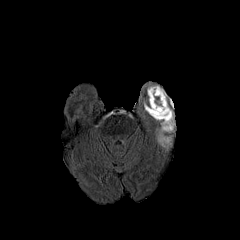
FLAIR magnetic resonance.
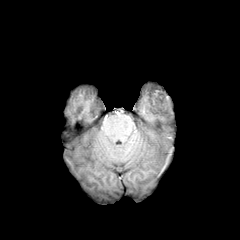
T1-weighted MR image.
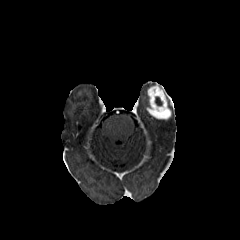
Post-contrast T1-weighted MR image.
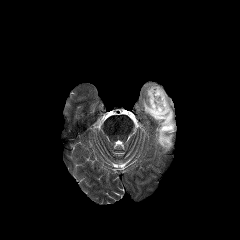
T2-weighted magnetic resonance.
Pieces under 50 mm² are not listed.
enhancing_tumor:
  - [146,85,171,119]
necrotic_tumor_core:
  - [155,97,162,105]
peritumoral_edema:
  - [157,111,175,149]